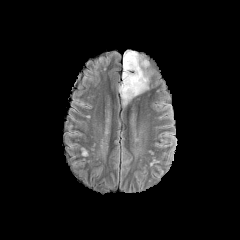
FLAIR magnetic resonance.
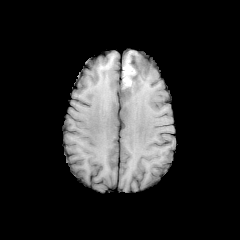
T1-weighted magnetic resonance.
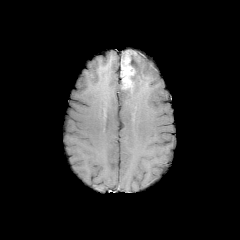
Post-contrast T1-weighted MR image.
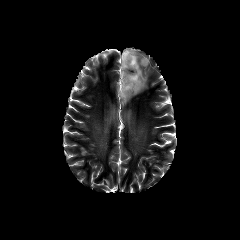
Same slice, T2-weighted MRI.
Image size 240x240
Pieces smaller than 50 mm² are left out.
enhancing_tumor:
  - x1=121, y1=51, x2=135, y2=91
necrotic_tumor_core:
  - x1=129, y1=51, x2=142, y2=90
peritumoral_edema:
  - x1=118, y1=52, x2=149, y2=104